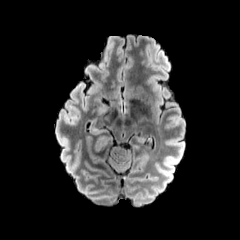
FLAIR MR.
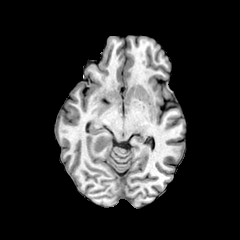
T1-weighted MR of the same slice.
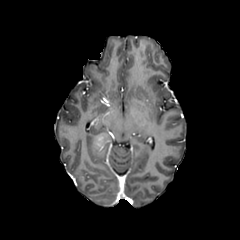
Post-contrast T1-weighted MR image.
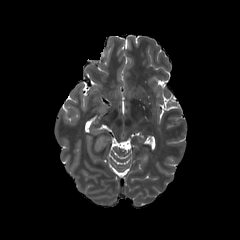
T2-weighted MR of the same slice.
Axial view
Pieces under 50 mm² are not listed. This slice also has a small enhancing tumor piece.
Segmented structures:
- peritumoral edema: {"x1": 90, "y1": 128, "x2": 111, "y2": 151}